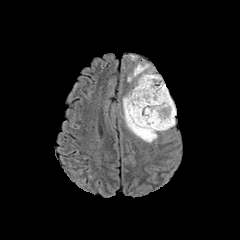
FLAIR MRI.
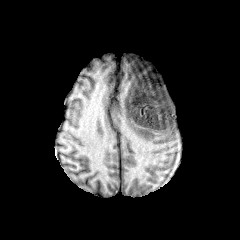
Same slice, T1-weighted MR.
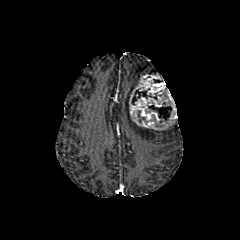
Post-contrast T1-weighted magnetic resonance.
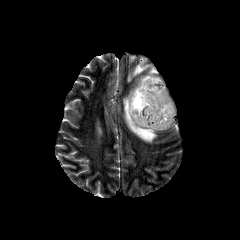
T2-weighted MR of the same slice.
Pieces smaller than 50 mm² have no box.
The 2 largest necrotic tumor core regions are bounded by 149,105,171,120; 132,89,147,104. The 2 largest peritumoral edema regions are bounded by 127,63,149,81; 123,94,157,142. The largest enhancing tumor region lies within 128,74,176,130.